FLAIR MR.
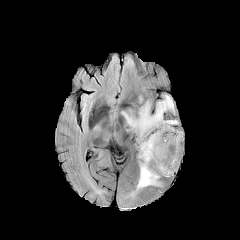
T1-weighted MR image.
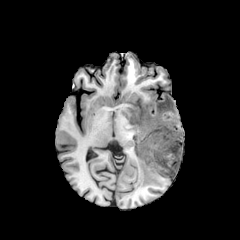
Post-contrast T1-weighted magnetic resonance.
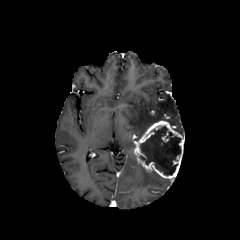
T2-weighted MR image.
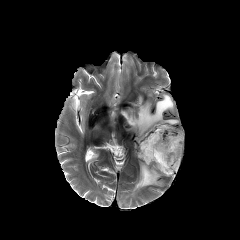
Brain, 240x240, Axial slice
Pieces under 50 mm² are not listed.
• enhancing tumor: <bbox>134, 120, 184, 178</bbox>
• necrotic tumor core: <bbox>140, 126, 180, 175</bbox>
• peritumoral edema: <bbox>136, 164, 160, 189</bbox>, <bbox>121, 95, 178, 140</bbox>